FLAIR MRI.
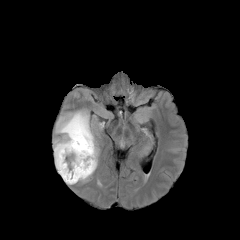
T1-weighted MR image.
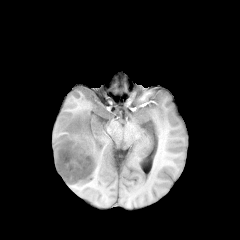
Post-contrast T1-weighted magnetic resonance.
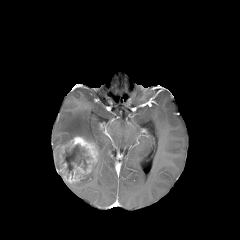
T2-weighted MR.
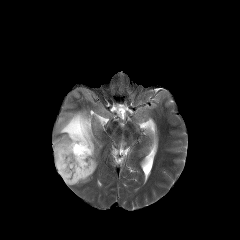
Axial slice. Brain.
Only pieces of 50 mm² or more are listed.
enhancing tumor at {"x1": 57, "y1": 136, "x2": 97, "y2": 183}
peritumoral edema at {"x1": 53, "y1": 110, "x2": 98, "y2": 169}, {"x1": 79, "y1": 162, "x2": 97, "y2": 182}
necrotic tumor core at {"x1": 63, "y1": 145, "x2": 88, "y2": 172}